Image size 240x240, Image covers 240 mm x 240 mm, Axial plane
FLAIR MRI.
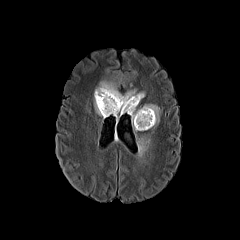
T1-weighted MR image.
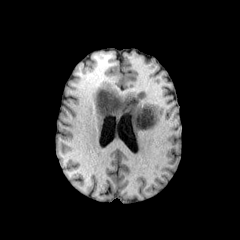
Post-contrast T1-weighted magnetic resonance.
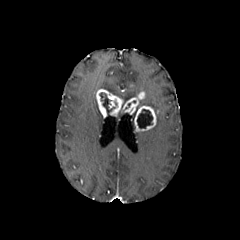
T2-weighted magnetic resonance.
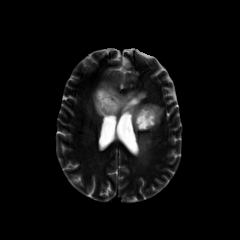
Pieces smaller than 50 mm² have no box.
peritumoral_edema:
  - (138, 136, 150, 155)
  - (94, 80, 138, 115)
  - (145, 104, 161, 123)
  - (131, 105, 139, 132)
enhancing_tumor:
  - (96, 89, 144, 117)
  - (134, 105, 159, 131)
necrotic_tumor_core:
  - (137, 109, 152, 128)
  - (100, 92, 114, 114)